Brain.
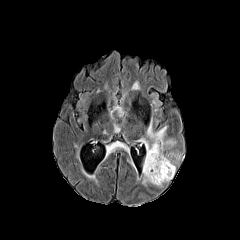
FLAIR magnetic resonance.
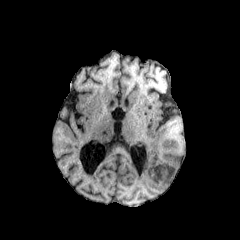
T1-weighted MR image of the same slice.
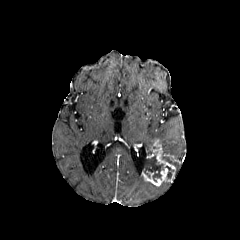
Post-contrast T1-weighted MR image.
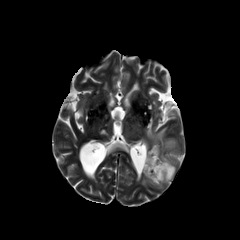
T2-weighted magnetic resonance.
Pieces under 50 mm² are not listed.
<segmentation>
  <enhancing_tumor>x1=142, y1=139, x2=175, y2=186</enhancing_tumor>
  <peritumoral_edema>x1=139, y1=121, x2=175, y2=151; x1=162, y1=153, x2=176, y2=166</peritumoral_edema>
  <necrotic_tumor_core>x1=166, y1=166, x2=173, y2=178; x1=143, y1=155, x2=163, y2=181</necrotic_tumor_core>
</segmentation>